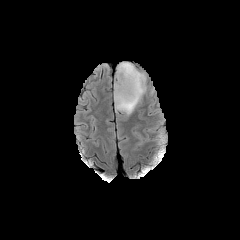
FLAIR magnetic resonance.
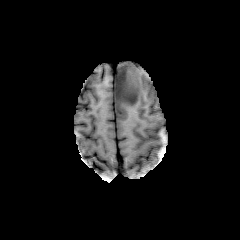
T1-weighted MR image of the same slice.
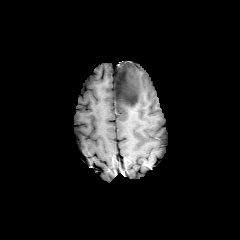
Same slice, post-contrast T1-weighted MRI.
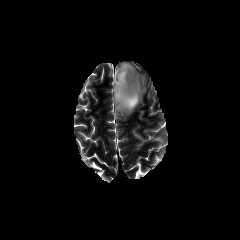
T2-weighted MR.
Head.
The necrotic tumor core is at 114,63,138,105. The peritumoral edema appears at 114,62,146,121.